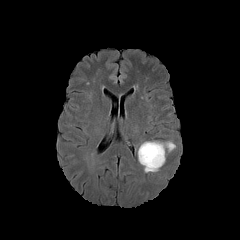
FLAIR MR image.
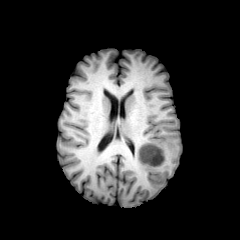
T1-weighted MR.
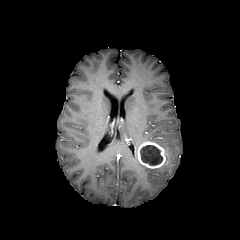
Post-contrast T1-weighted MR.
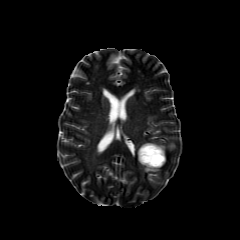
T2-weighted MR image.
enhancing tumor: bounding box x1=137 y1=142 x2=165 y2=168
necrotic tumor core: bounding box x1=140 y1=145 x2=162 y2=165
peritumoral edema: bounding box x1=142 y1=165 x2=159 y2=172, x1=145 y1=141 x2=175 y2=155